FLAIR MR image.
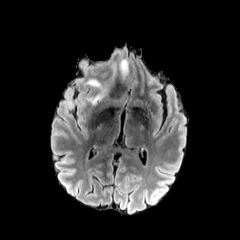
T1-weighted magnetic resonance.
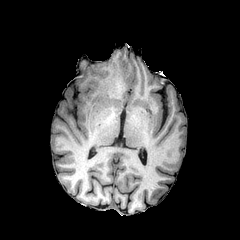
Post-contrast T1-weighted MR image.
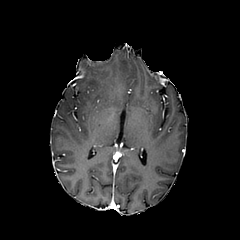
T2-weighted magnetic resonance.
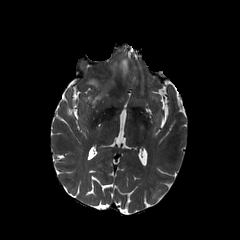
* peritumoral edema: l=86, t=60, r=117, b=106; l=118, t=59, r=129, b=81